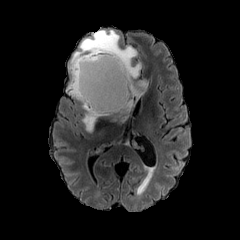
FLAIR MR image.
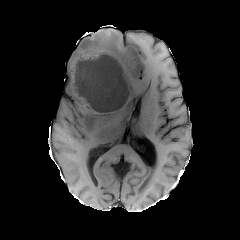
T1-weighted magnetic resonance.
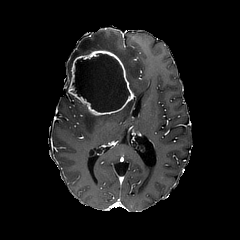
Post-contrast T1-weighted MR image.
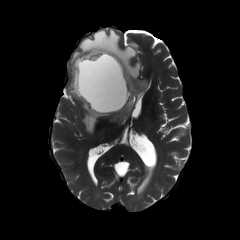
T2-weighted MRI.
Head
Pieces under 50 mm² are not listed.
enhancing tumor — bbox=[68, 50, 133, 115]
peritumoral edema — bbox=[66, 29, 147, 131]
necrotic tumor core — bbox=[73, 53, 129, 112]